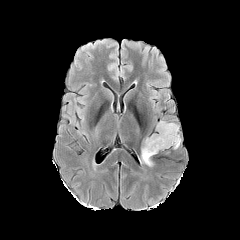
FLAIR MR.
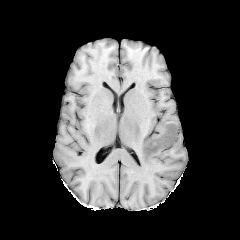
Same slice, T1-weighted MRI.
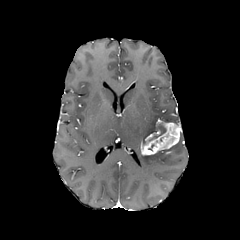
Post-contrast T1-weighted MR image of the same slice.
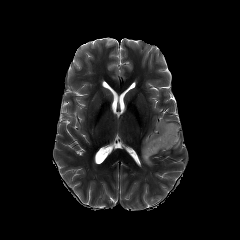
T2-weighted magnetic resonance of the same slice.
Head | Axial slice
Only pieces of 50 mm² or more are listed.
{
  "enhancing_tumor": [
    "<box>141,120,181,155</box>"
  ],
  "necrotic_tumor_core": [
    "<box>149,124,166,140</box>"
  ],
  "peritumoral_edema": [
    "<box>141,154,152,166</box>"
  ]
}